FLAIR MR.
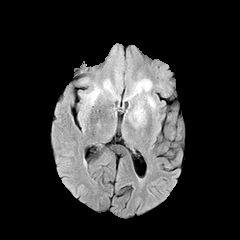
T1-weighted MR image.
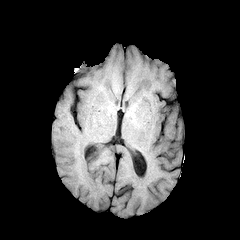
Post-contrast T1-weighted MR.
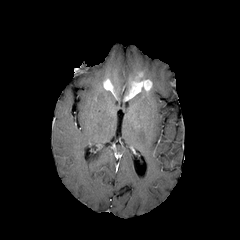
T2-weighted MRI.
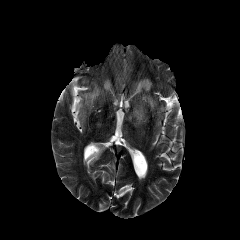
240x240 px
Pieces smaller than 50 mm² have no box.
{
  "enhancing_tumor": [
    "bbox=[125, 79, 152, 100]",
    "bbox=[103, 78, 116, 96]"
  ],
  "peritumoral_edema": [
    "bbox=[84, 85, 102, 104]",
    "bbox=[132, 94, 156, 123]"
  ]
}